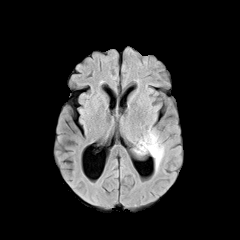
FLAIR MR.
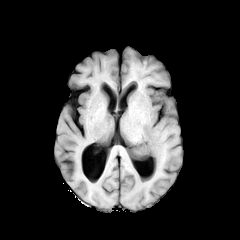
T1-weighted MR of the same slice.
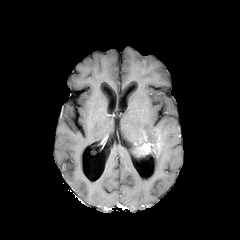
Same slice, post-contrast T1-weighted MR image.
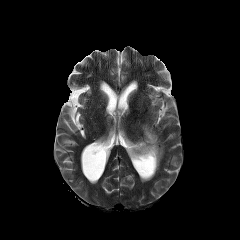
T2-weighted magnetic resonance of the same slice.
Axial plane. Brain.
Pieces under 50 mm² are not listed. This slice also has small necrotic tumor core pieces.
peritumoral edema: x1=144 y1=127 x2=159 y2=143, x1=153 y1=140 x2=164 y2=170
enhancing tumor: x1=137 y1=138 x2=160 y2=154